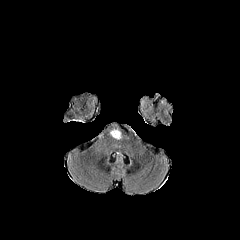
FLAIR magnetic resonance.
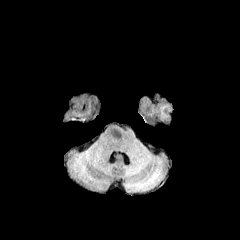
T1-weighted MRI.
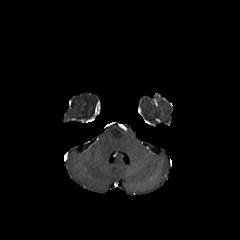
Post-contrast T1-weighted MR image.
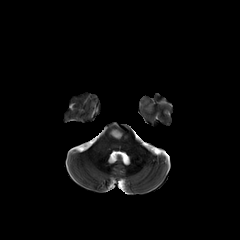
T2-weighted MRI.
Axial slice. Brain.
peritumoral edema at (110,128,121,139)